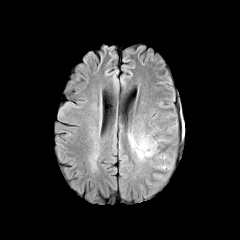
FLAIR MR image.
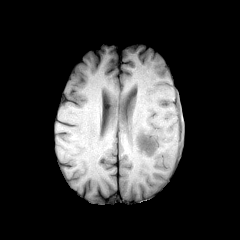
T1-weighted MR.
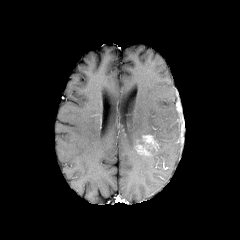
Same slice, post-contrast T1-weighted MR image.
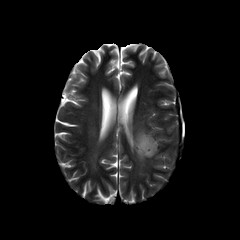
T2-weighted MR image.
Head; Axial plane
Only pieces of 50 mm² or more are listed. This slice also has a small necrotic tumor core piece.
The enhancing tumor appears at [137,135,157,155]. The largest peritumoral edema region is at [127,132,156,161].